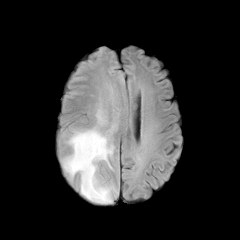
FLAIR MR image.
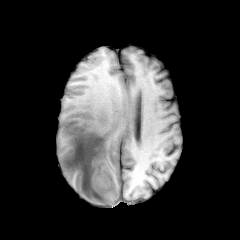
Same slice, T1-weighted MRI.
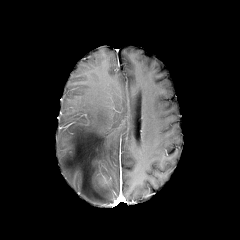
Post-contrast T1-weighted magnetic resonance.
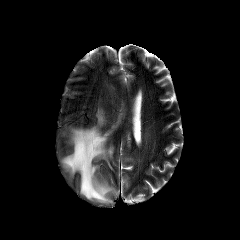
T2-weighted MR image of the same slice.
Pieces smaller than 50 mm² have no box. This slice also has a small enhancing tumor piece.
peritumoral edema: bounding box rect(62, 109, 117, 203)